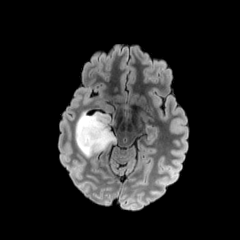
FLAIR MRI.
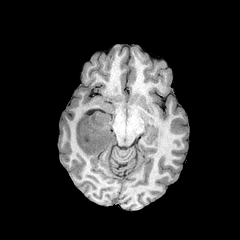
T1-weighted MR image.
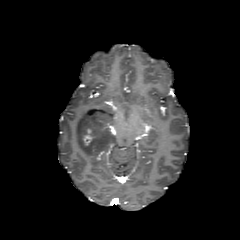
Post-contrast T1-weighted MR image of the same slice.
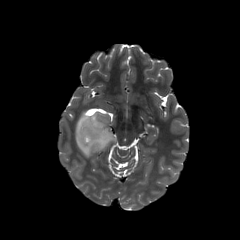
T2-weighted magnetic resonance of the same slice.
Axial view, Brain
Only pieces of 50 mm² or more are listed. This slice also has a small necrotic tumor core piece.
The enhancing tumor is bounded by 83:128:92:146. The peritumoral edema is located at 75:100:117:157.